FLAIR MR.
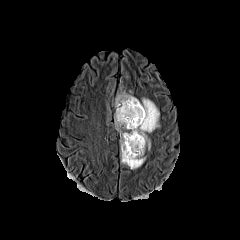
T1-weighted magnetic resonance.
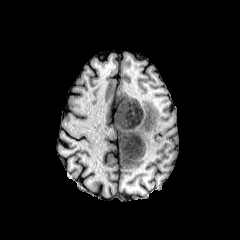
Post-contrast T1-weighted MRI.
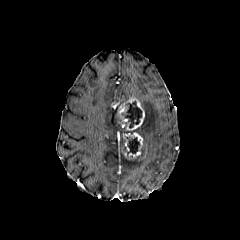
T2-weighted MRI.
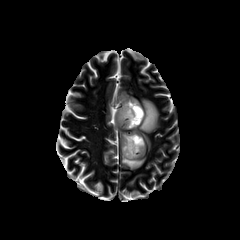
Axial plane
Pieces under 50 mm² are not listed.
necrotic tumor core: x1=126 y1=137 x2=139 y2=155, x1=122 y1=101 x2=141 y2=128
peritumoral edema: x1=115 y1=98 x2=159 y2=169, x1=116 y1=91 x2=132 y2=102
enhancing tumor: x1=121 y1=132 x2=144 y2=159, x1=116 y1=97 x2=144 y2=130